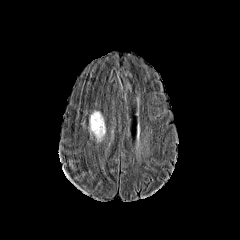
FLAIR MR.
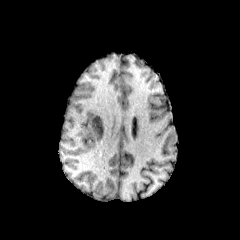
T1-weighted magnetic resonance.
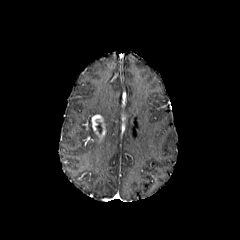
Post-contrast T1-weighted MRI of the same slice.
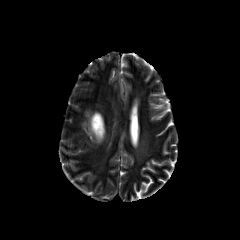
T2-weighted MR image of the same slice.
Axial view; Image size 240x240
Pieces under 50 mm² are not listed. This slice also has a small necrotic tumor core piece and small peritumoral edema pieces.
enhancing tumor: box=[91, 114, 105, 141]